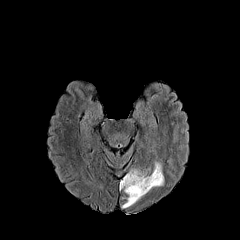
FLAIR MRI.
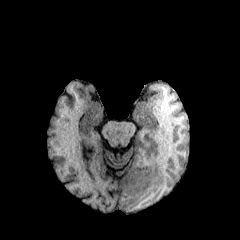
Same slice, T1-weighted MRI.
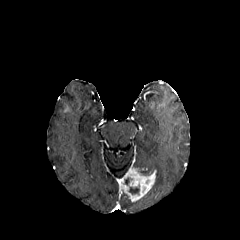
Post-contrast T1-weighted MR image of the same slice.
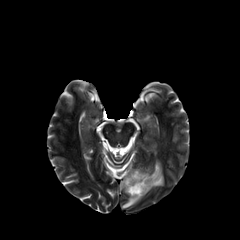
T2-weighted MR image of the same slice.
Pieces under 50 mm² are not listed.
<segmentation>
  <necrotic_tumor_core>129, 187, 139, 193</necrotic_tumor_core>
  <peritumoral_edema>122, 197, 137, 208; 152, 161, 164, 188</peritumoral_edema>
  <enhancing_tumor>119, 167, 156, 202</enhancing_tumor>
</segmentation>